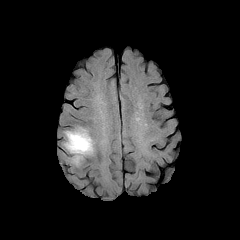
FLAIR MR image.
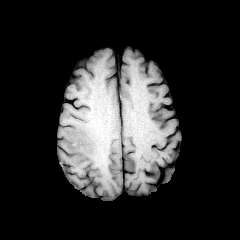
T1-weighted magnetic resonance.
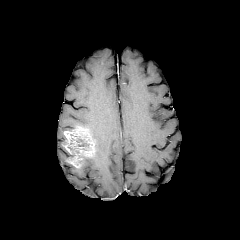
Post-contrast T1-weighted MR of the same slice.
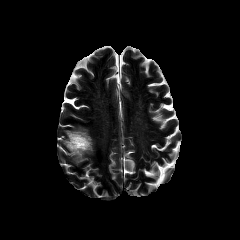
Same slice, T2-weighted MR image.
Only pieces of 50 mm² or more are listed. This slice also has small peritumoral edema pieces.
<segmentation>
  <necrotic_tumor_core>region(76, 138, 89, 147)</necrotic_tumor_core>
  <enhancing_tumor>region(64, 126, 95, 167)</enhancing_tumor>
</segmentation>